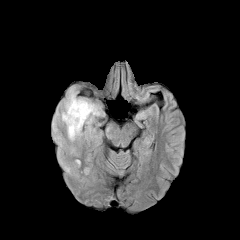
FLAIR MR image.
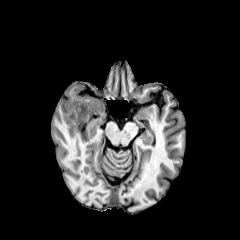
Same slice, T1-weighted MRI.
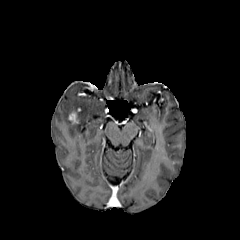
Same slice, post-contrast T1-weighted MRI.
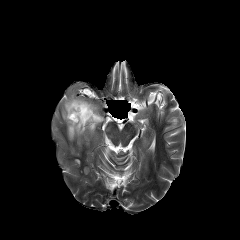
T2-weighted magnetic resonance.
240x240 px.
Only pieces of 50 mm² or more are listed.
The largest peritumoral edema region is located at [x1=61, y1=88, x2=101, y2=141]. The enhancing tumor appears at [x1=68, y1=108, x2=80, y2=124].